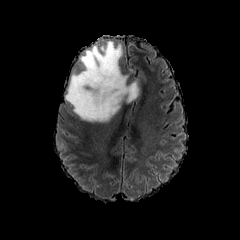
FLAIR MR.
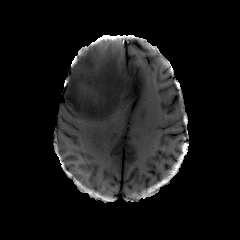
T1-weighted MRI of the same slice.
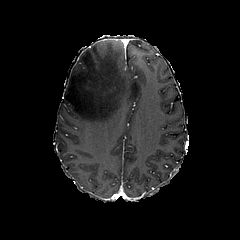
Post-contrast T1-weighted magnetic resonance.
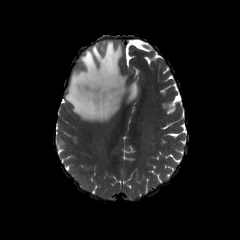
T2-weighted MRI.
Axial view
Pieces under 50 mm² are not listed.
Annotated regions:
- peritumoral edema: (left=65, top=40, right=138, bottom=122)